Image width 240 mm | Axial plane
FLAIR MRI.
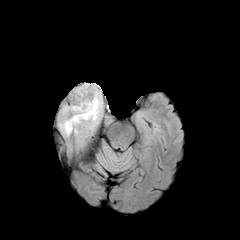
T1-weighted MR image.
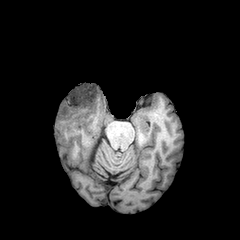
Post-contrast T1-weighted MR.
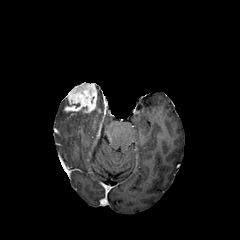
T2-weighted MR image.
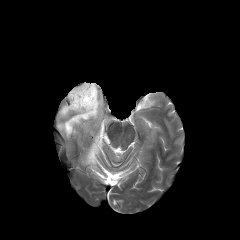
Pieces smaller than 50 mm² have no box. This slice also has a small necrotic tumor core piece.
enhancing tumor: box=[63, 82, 97, 113] | peritumoral edema: box=[58, 84, 102, 137]